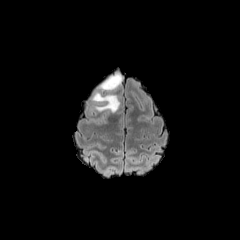
FLAIR magnetic resonance.
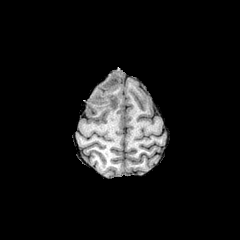
T1-weighted magnetic resonance.
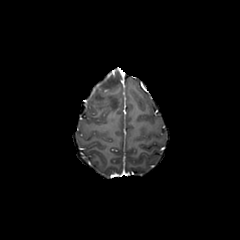
Post-contrast T1-weighted MR image.
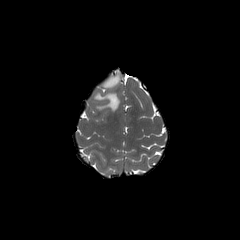
T2-weighted MRI.
240x240
peritumoral edema: (left=92, top=92, right=119, bottom=112), (left=100, top=73, right=121, bottom=90)